FLAIR MRI.
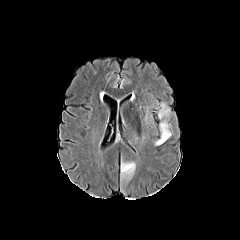
T1-weighted MR image.
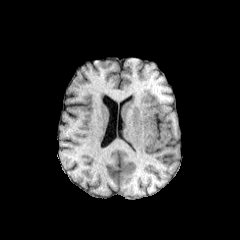
Post-contrast T1-weighted MR image.
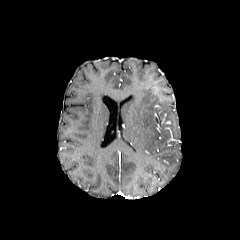
T2-weighted MRI.
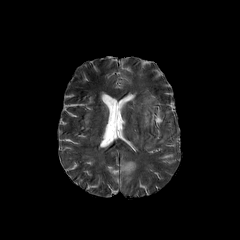
Brain | Axial slice
peritumoral edema: 121:162:135:181, 158:104:169:118, 155:122:170:145